Axial view. Slice index 62.
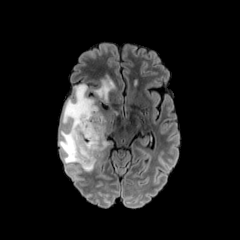
FLAIR MR image.
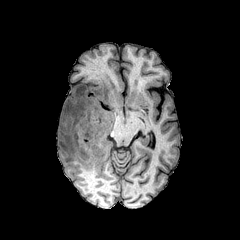
T1-weighted MR.
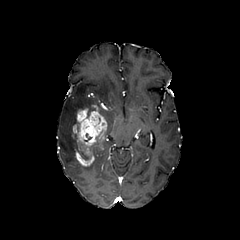
Post-contrast T1-weighted MR of the same slice.
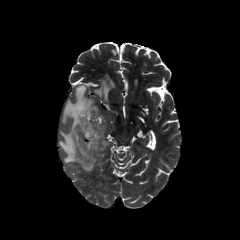
T2-weighted MRI of the same slice.
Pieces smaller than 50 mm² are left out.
Findings:
- enhancing tumor: bbox(71, 105, 107, 166)
- peritumoral edema: bbox(59, 84, 96, 171); bbox(93, 73, 113, 103)
- necrotic tumor core: bbox(75, 134, 91, 160); bbox(90, 144, 101, 155)